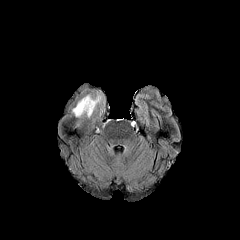
FLAIR MR.
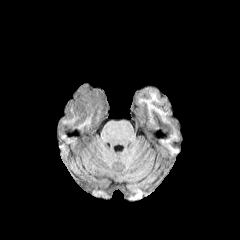
T1-weighted MR image.
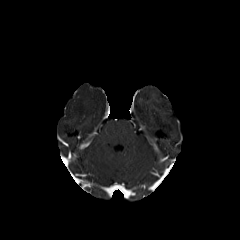
Post-contrast T1-weighted MR.
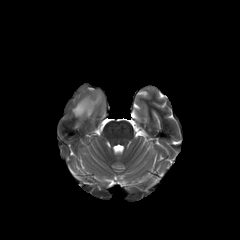
T2-weighted MRI.
Brain | 240x240
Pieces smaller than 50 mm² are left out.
Annotated regions:
* peritumoral edema: 72:91:104:118